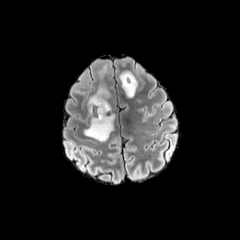
FLAIR magnetic resonance.
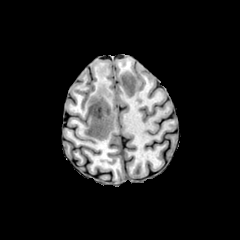
T1-weighted MR image.
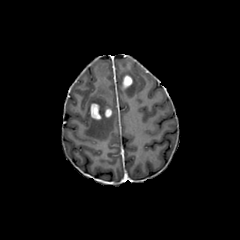
Post-contrast T1-weighted MRI of the same slice.
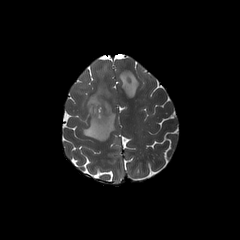
T2-weighted MRI.
Brain
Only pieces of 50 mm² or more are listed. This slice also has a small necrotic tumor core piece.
enhancing tumor at x1=122, y1=75, x2=132, y2=88; x1=104, y1=107, x2=111, y2=117; x1=90, y1=103, x2=102, y2=119
peritumoral edema at x1=119, y1=69, x2=137, y2=97; x1=83, y1=63, x2=115, y2=141